Axial plane; Image width 240 mm
FLAIR magnetic resonance.
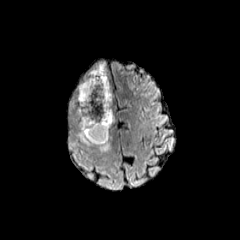
T1-weighted MR.
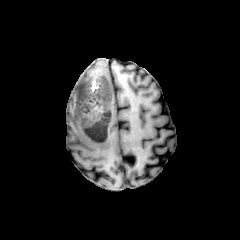
Post-contrast T1-weighted MR image.
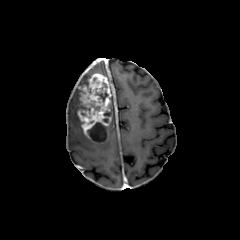
T2-weighted MR.
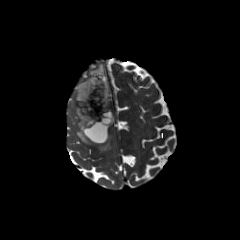
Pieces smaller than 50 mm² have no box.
The largest peritumoral edema region appears at x1=75, y1=63, x2=109, y2=151. The 3 largest necrotic tumor core regions are bounded by x1=95, y1=91, x2=108, y2=102; x1=87, y1=122, x2=106, y2=142; x1=89, y1=101, x2=99, y2=110. The largest enhancing tumor region is bounded by x1=77, y1=73, x2=112, y2=143.